Slice 83 of 155. Axial view.
FLAIR MRI.
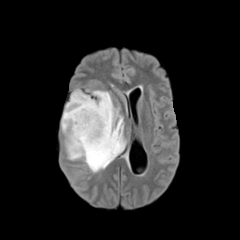
T1-weighted MRI.
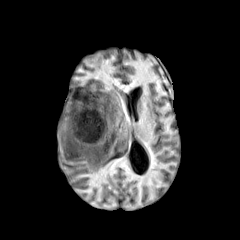
Post-contrast T1-weighted MR.
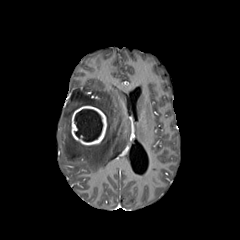
T2-weighted MR image.
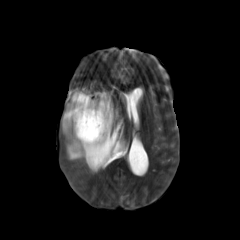
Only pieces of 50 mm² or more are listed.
* peritumoral edema: (61,90,125,172)
* enhancing tumor: (71,106,107,145)
* necrotic tumor core: (74,109,102,141)